FLAIR MR image.
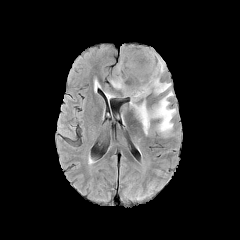
T1-weighted magnetic resonance.
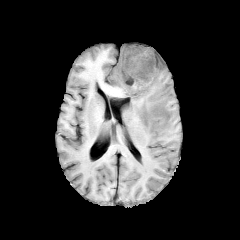
Post-contrast T1-weighted MR image.
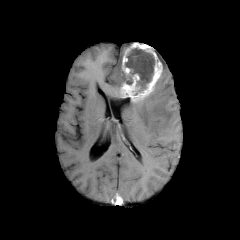
T2-weighted magnetic resonance.
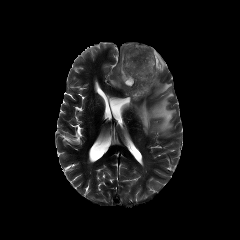
240x240
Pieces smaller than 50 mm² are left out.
Segmented structures:
* necrotic tumor core: {"x1": 125, "y1": 48, "x2": 154, "y2": 91}, {"x1": 123, "y1": 72, "x2": 132, "y2": 84}
* enhancing tumor: {"x1": 121, "y1": 43, "x2": 162, "y2": 101}
* peritumoral edema: {"x1": 130, "y1": 78, "x2": 176, "y2": 136}, {"x1": 97, "y1": 51, "x2": 123, "y2": 97}